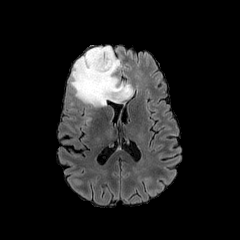
FLAIR MR image.
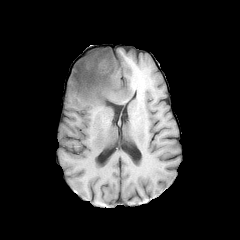
T1-weighted MRI.
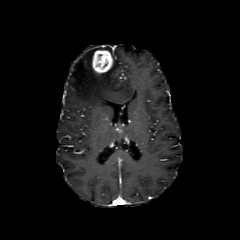
Same slice, post-contrast T1-weighted magnetic resonance.
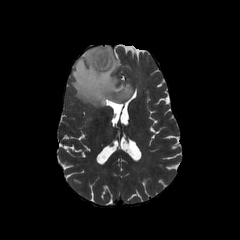
Same slice, T2-weighted MR.
240x240, Axial plane
The enhancing tumor is located at bbox(92, 50, 113, 73). The peritumoral edema appears at bbox(69, 46, 132, 107).